Brain
FLAIR MR.
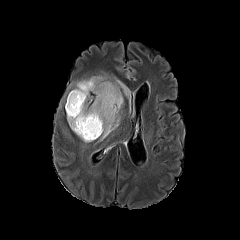
T1-weighted MR image.
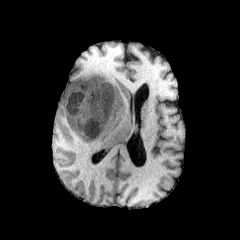
Post-contrast T1-weighted MRI.
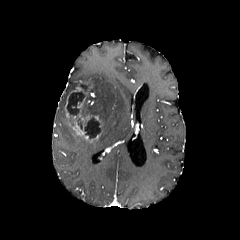
T2-weighted magnetic resonance.
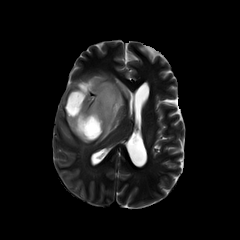
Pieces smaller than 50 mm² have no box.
<segmentation>
  <necrotic_tumor_core>(left=67, top=91, right=85, bottom=115), (left=84, top=118, right=100, bottom=139)</necrotic_tumor_core>
  <peritumoral_edema>(left=82, top=75, right=130, bottom=141)</peritumoral_edema>
  <enhancing_tumor>(left=65, top=81, right=102, bottom=142)</enhancing_tumor>
</segmentation>